FLAIR MR.
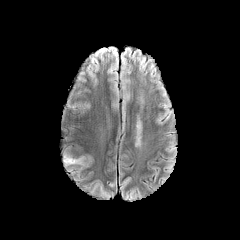
T1-weighted magnetic resonance.
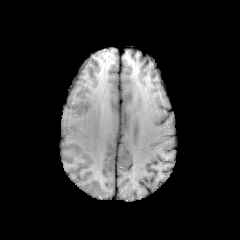
Post-contrast T1-weighted MR image.
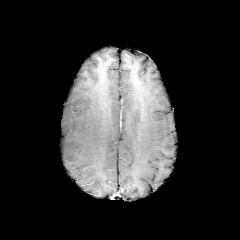
T2-weighted MR image.
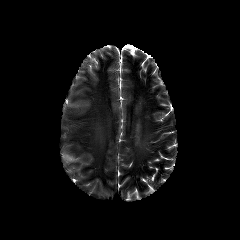
peritumoral_edema:
  - <bbox>63, 154, 81, 164</bbox>